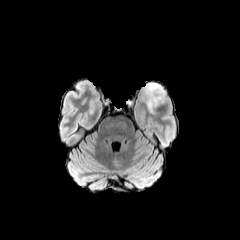
FLAIR MR image.
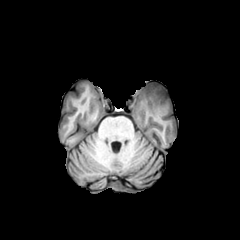
T1-weighted MR of the same slice.
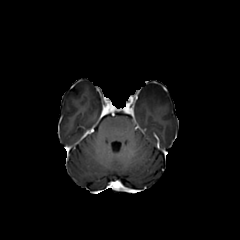
Post-contrast T1-weighted MR image.
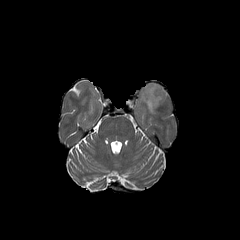
T2-weighted magnetic resonance.
Head
Segmented structures:
• peritumoral edema: bbox=[143, 83, 167, 114]